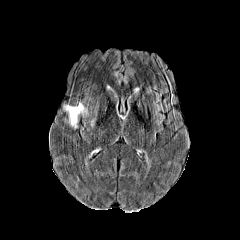
FLAIR MRI.
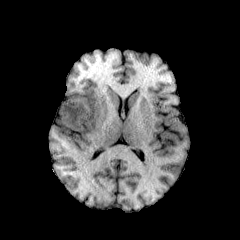
T1-weighted MRI.
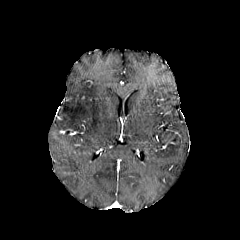
Post-contrast T1-weighted MR.
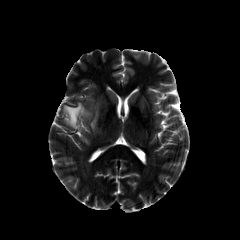
T2-weighted MRI of the same slice.
Axial view
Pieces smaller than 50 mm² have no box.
<segmentation>
  <peritumoral_edema>region(64, 102, 87, 128)</peritumoral_edema>
</segmentation>